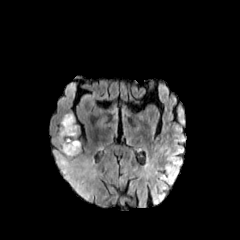
FLAIR MR image.
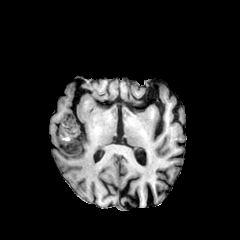
T1-weighted MR image.
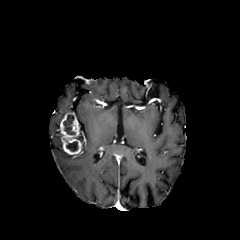
Post-contrast T1-weighted MR image.
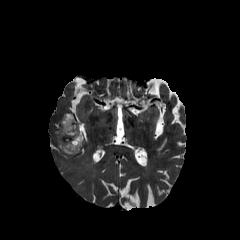
T2-weighted MR image.
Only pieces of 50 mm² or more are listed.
peritumoral edema: bounding box 51, 131, 95, 202; 98, 116, 107, 125
necrotic tumor core: bounding box 66, 141, 78, 151; 63, 115, 75, 134
enhancing tumor: bounding box 58, 112, 82, 154